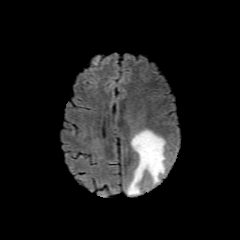
FLAIR MR image.
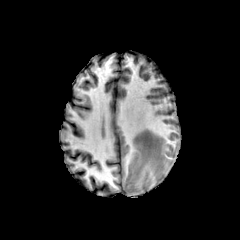
T1-weighted MR.
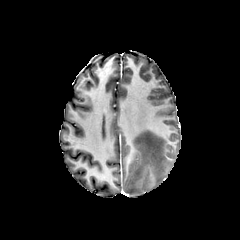
Same slice, post-contrast T1-weighted MR.
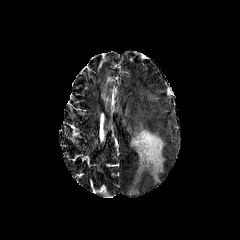
T2-weighted MR.
Axial plane
peritumoral edema at x1=127 y1=129 x2=165 y2=194